FLAIR MR image.
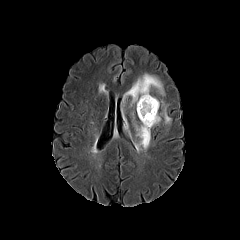
T1-weighted MR image.
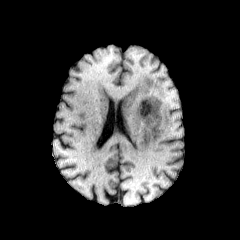
Post-contrast T1-weighted MRI.
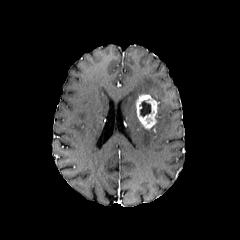
T2-weighted MR image.
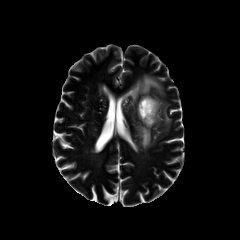
240x240 | Axial slice
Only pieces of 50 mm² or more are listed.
enhancing_tumor:
  - (136, 94, 159, 129)
peritumoral_edema:
  - (134, 121, 150, 151)
  - (161, 101, 171, 124)
  - (123, 74, 164, 106)
necrotic_tumor_core:
  - (140, 101, 150, 116)